FLAIR MRI.
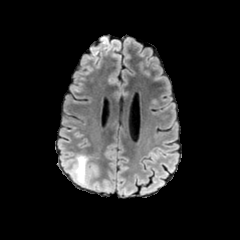
T1-weighted MRI.
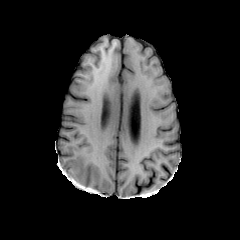
Post-contrast T1-weighted MR.
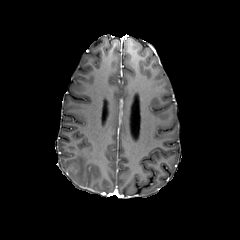
T2-weighted MR image.
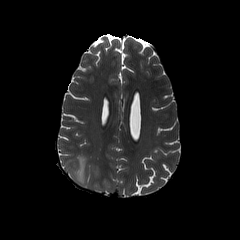
peritumoral edema at (68, 154, 96, 187)